240x240 px; Axial plane
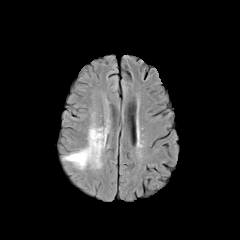
FLAIR MRI.
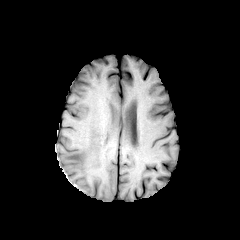
T1-weighted MRI.
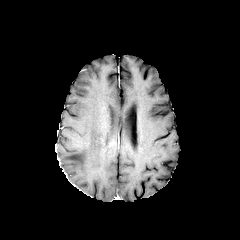
Post-contrast T1-weighted magnetic resonance.
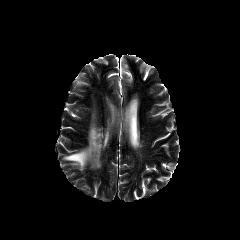
T2-weighted MR.
• peritumoral edema: 63,125,107,169